FLAIR magnetic resonance.
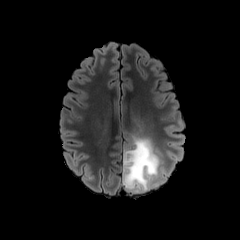
T1-weighted MR image.
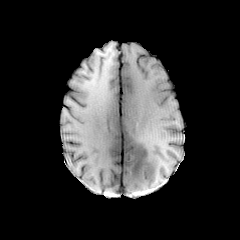
Post-contrast T1-weighted MR image.
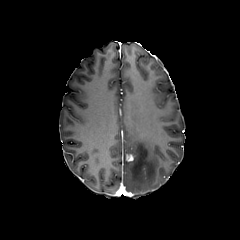
T2-weighted MR.
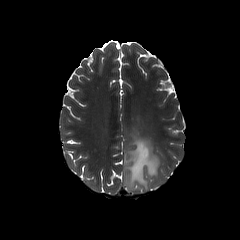
Head. 240x240. Axial slice.
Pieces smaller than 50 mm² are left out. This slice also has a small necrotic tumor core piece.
The enhancing tumor appears at (left=126, top=154, right=134, bottom=161). The peritumoral edema lies within (left=122, top=134, right=165, bottom=193).